Brain. Axial view.
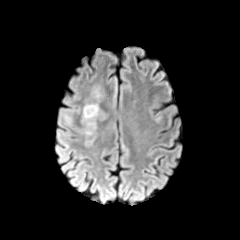
FLAIR magnetic resonance.
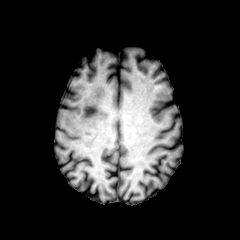
T1-weighted magnetic resonance of the same slice.
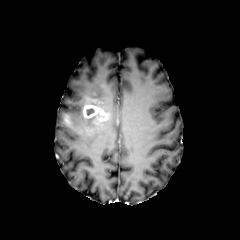
Post-contrast T1-weighted MR of the same slice.
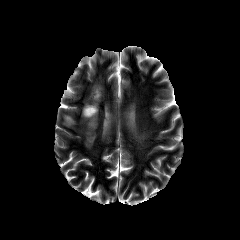
T2-weighted MRI.
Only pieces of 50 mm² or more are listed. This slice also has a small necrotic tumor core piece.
<segmentation>
  <enhancing_tumor>(left=64, top=115, right=71, bottom=125), (left=82, top=105, right=100, bottom=118)</enhancing_tumor>
  <peritumoral_edema>(left=84, top=115, right=97, bottom=127)</peritumoral_edema>
</segmentation>